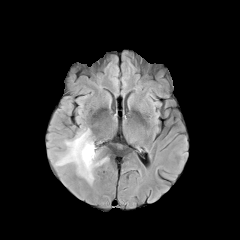
FLAIR MR image.
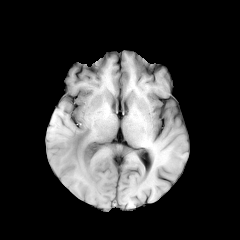
T1-weighted MR.
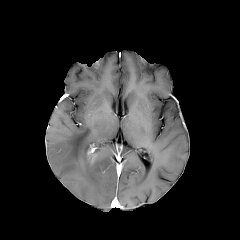
Post-contrast T1-weighted MR.
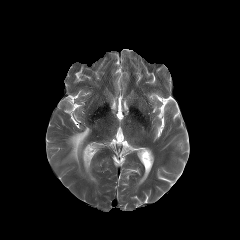
T2-weighted MR of the same slice.
Axial plane.
peritumoral edema: bounding box (56,128,105,181)
enhancing tumor: bounding box (87,145,95,159)